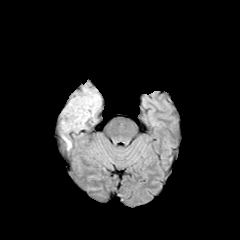
FLAIR magnetic resonance.
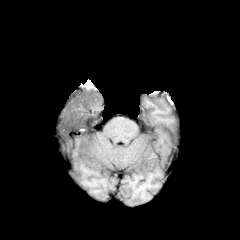
T1-weighted magnetic resonance.
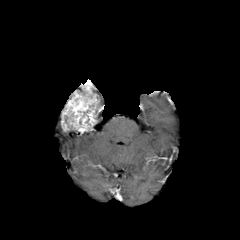
Post-contrast T1-weighted magnetic resonance of the same slice.
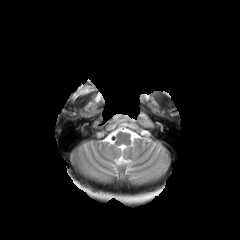
T2-weighted magnetic resonance.
Axial plane | Head
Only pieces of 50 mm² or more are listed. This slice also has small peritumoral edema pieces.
The enhancing tumor is located at bbox(61, 84, 100, 133).